Brain; Slice 70 of 155
FLAIR magnetic resonance.
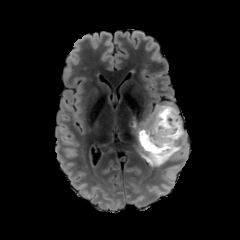
T1-weighted magnetic resonance.
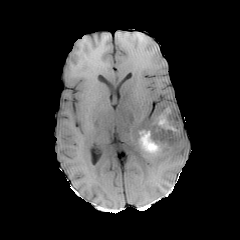
Post-contrast T1-weighted MRI.
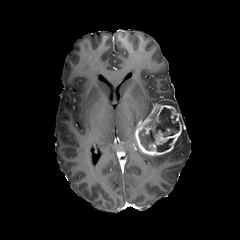
T2-weighted magnetic resonance.
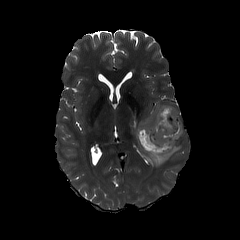
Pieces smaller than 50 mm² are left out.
The 2 largest necrotic tumor core regions appear at (139, 107, 179, 150), (156, 138, 173, 151). The largest enhancing tumor region is at (134, 104, 182, 155). The 2 largest peritumoral edema regions appear at (139, 129, 184, 166), (133, 121, 138, 143).